FLAIR magnetic resonance.
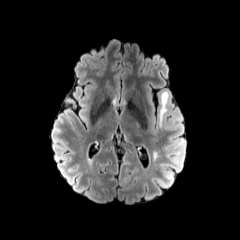
T1-weighted MRI.
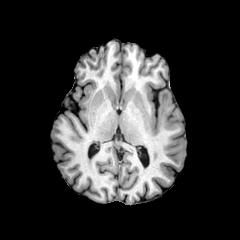
Post-contrast T1-weighted MR.
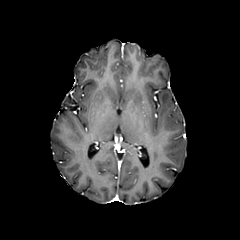
T2-weighted MR.
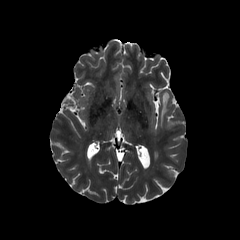
Axial plane | Head
peritumoral edema: bounding box rect(159, 91, 169, 127)